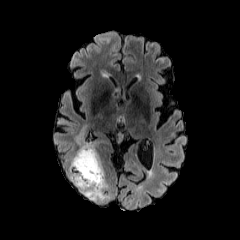
FLAIR magnetic resonance.
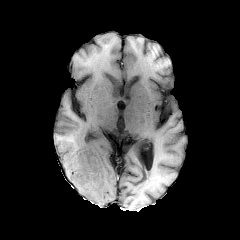
T1-weighted MRI of the same slice.
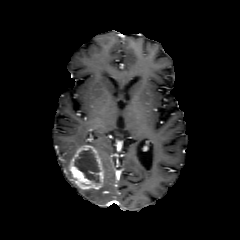
Post-contrast T1-weighted MRI.
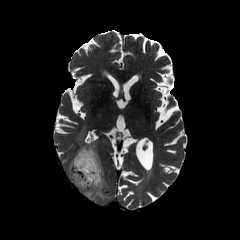
Same slice, T2-weighted magnetic resonance.
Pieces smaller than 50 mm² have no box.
The 2 largest peritumoral edema regions appear at [73,170,109,201], [76,130,83,147]. The enhancing tumor lies within [70,145,103,190]. The necrotic tumor core is bounded by [74,149,99,182].